Slice 46 of 155; Axial view
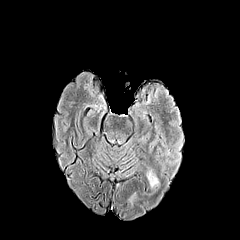
FLAIR MR.
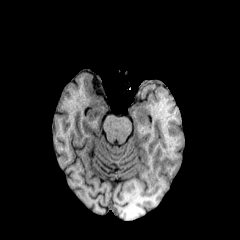
T1-weighted MR.
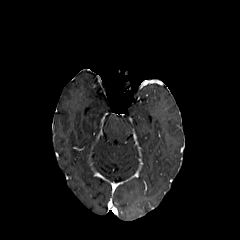
Post-contrast T1-weighted MR.
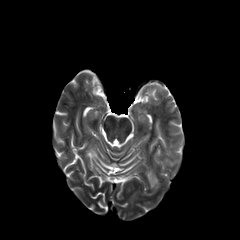
T2-weighted MRI.
• peritumoral edema: l=147, t=171, r=158, b=187